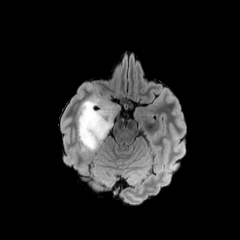
FLAIR MR.
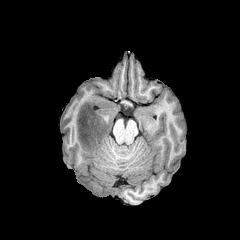
Same slice, T1-weighted magnetic resonance.
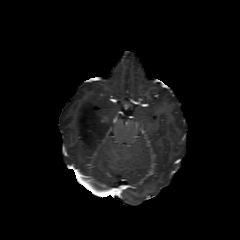
Same slice, post-contrast T1-weighted MR image.
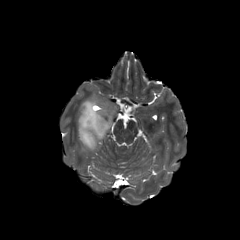
T2-weighted MRI of the same slice.
Brain
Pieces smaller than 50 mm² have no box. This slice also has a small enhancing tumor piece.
{"peritumoral_edema": ["region(78, 96, 121, 153)"]}